FLAIR magnetic resonance.
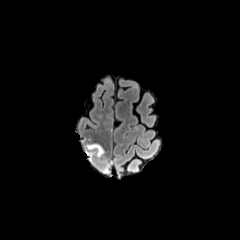
T1-weighted MR.
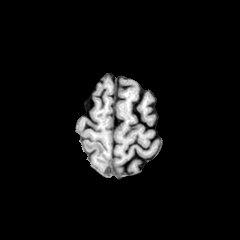
Post-contrast T1-weighted MR image.
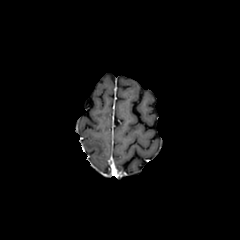
T2-weighted MR.
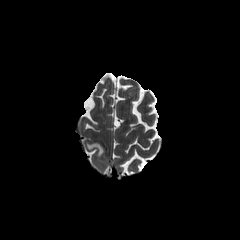
Axial view; Brain
peritumoral_edema:
  - <bbox>87, 144, 103, 156</bbox>